FLAIR MR.
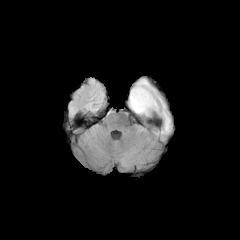
T1-weighted MR.
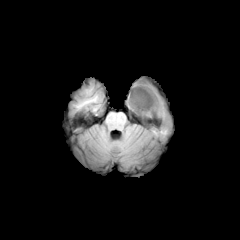
Post-contrast T1-weighted magnetic resonance.
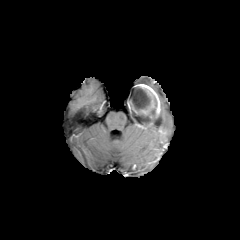
T2-weighted MR.
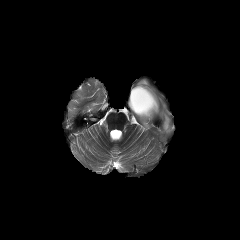
Image size 240x240
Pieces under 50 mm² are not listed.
peritumoral edema: 158,97,170,132; 136,79,149,85
enhancing tumor: 128,84,160,117
necrotic tumor core: 131,87,155,119